FLAIR MR.
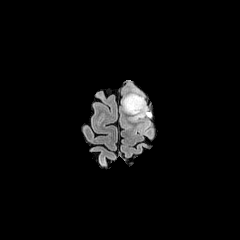
T1-weighted MR image.
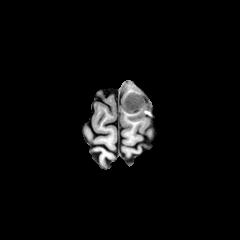
Post-contrast T1-weighted MRI.
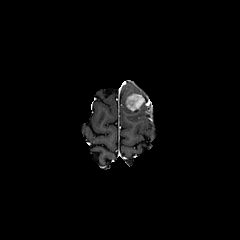
T2-weighted MRI.
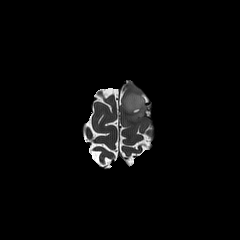
Axial view
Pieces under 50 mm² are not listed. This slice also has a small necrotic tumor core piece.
The largest peritumoral edema region appears at 122 85 147 121. The enhancing tumor lies within 125 93 144 112.